Axial view | Brain
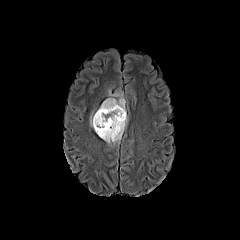
FLAIR MRI.
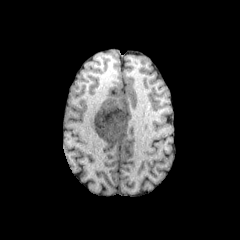
T1-weighted MRI.
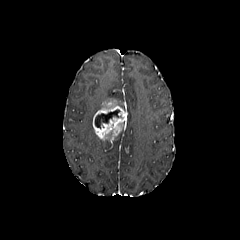
Post-contrast T1-weighted MRI.
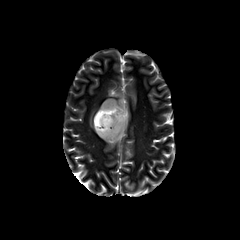
T2-weighted magnetic resonance of the same slice.
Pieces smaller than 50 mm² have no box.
Findings:
- enhancing tumor: 92:98:127:141
- necrotic tumor core: 95:110:119:128
- peritumoral edema: 113:129:123:143, 108:90:124:109